FLAIR MRI.
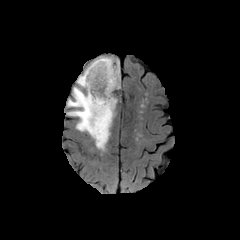
T1-weighted MR.
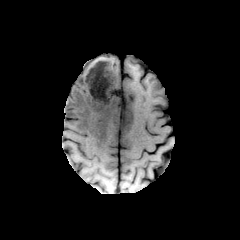
Post-contrast T1-weighted magnetic resonance.
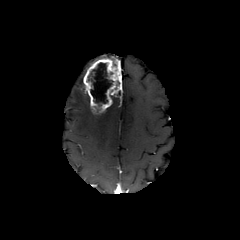
T2-weighted MR.
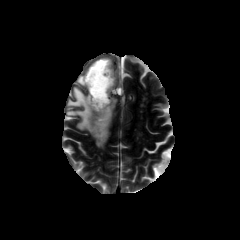
Axial view | 240x240 px
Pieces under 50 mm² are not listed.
The necrotic tumor core is at rect(88, 63, 112, 103). The peritumoral edema is at rect(66, 56, 117, 151). The largest enhancing tumor region is located at rect(83, 57, 121, 114).